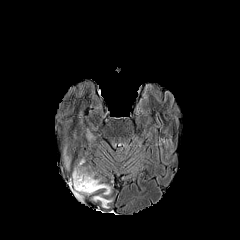
FLAIR MR image.
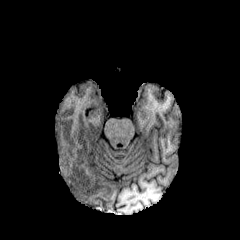
Same slice, T1-weighted MR image.
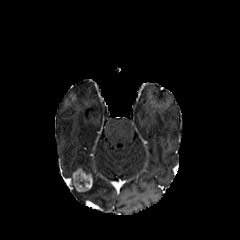
Post-contrast T1-weighted MR image.
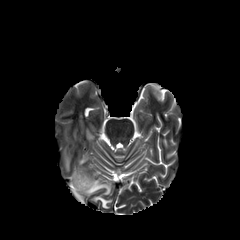
T2-weighted MR image.
240x240 px, Brain
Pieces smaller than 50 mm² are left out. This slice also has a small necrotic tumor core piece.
enhancing tumor: (72,168,92,191)
peritumoral edema: (64,148,69,168), (71,177,110,202), (93,195,111,208)